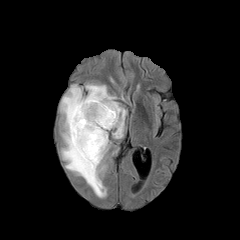
FLAIR MR image.
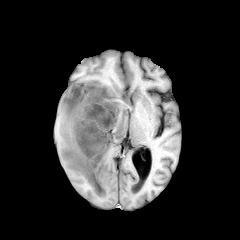
T1-weighted magnetic resonance.
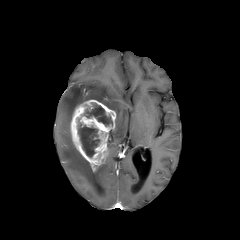
Post-contrast T1-weighted MR of the same slice.
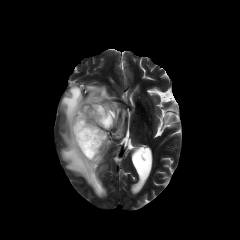
T2-weighted magnetic resonance of the same slice.
Axial view; Brain
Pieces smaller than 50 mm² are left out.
<segmentation>
  <necrotic_tumor_core>78:124:99:157, 85:104:112:125</necrotic_tumor_core>
  <enhancing_tumor>70:100:116:171</enhancing_tumor>
  <peritumoral_edema>60:84:126:197</peritumoral_edema>
</segmentation>